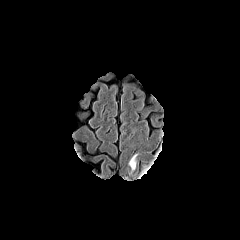
FLAIR MR.
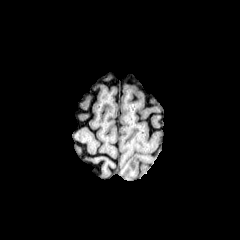
T1-weighted magnetic resonance of the same slice.
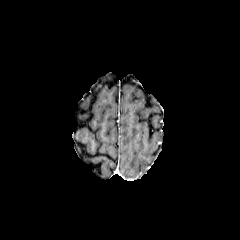
Post-contrast T1-weighted MR.
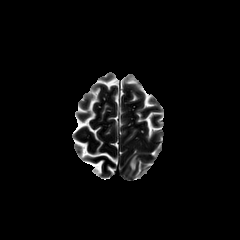
T2-weighted MR.
Brain. 240x240 px.
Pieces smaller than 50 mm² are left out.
peritumoral edema = (left=129, top=154, right=136, bottom=170)